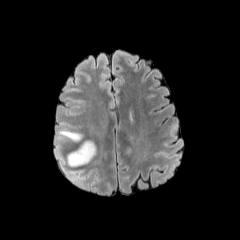
FLAIR MR image.
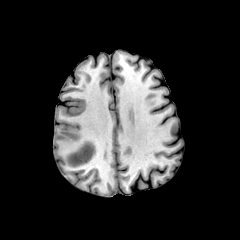
T1-weighted MRI.
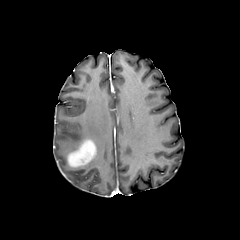
Post-contrast T1-weighted MR image.
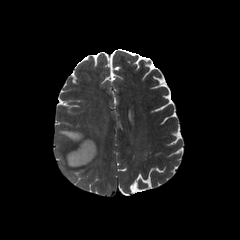
T2-weighted MR.
Axial plane
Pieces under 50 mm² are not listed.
<segmentation>
  <enhancing_tumor>x1=66, y1=139, x2=96, y2=167</enhancing_tumor>
  <peritumoral_edema>x1=58, y1=130, x2=86, y2=143; x1=56, y1=152, x2=82, y2=180</peritumoral_edema>
</segmentation>